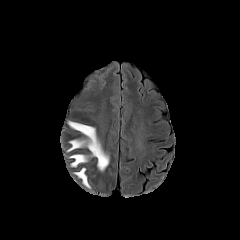
FLAIR MR.
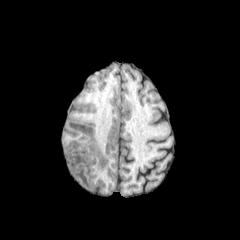
T1-weighted MRI.
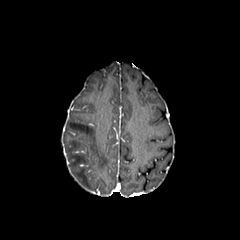
Post-contrast T1-weighted MRI.
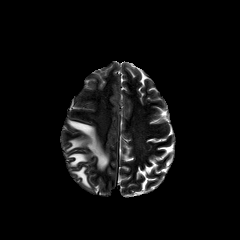
T2-weighted MR image.
Image size 240x240, Axial view
<segmentation>
  <peritumoral_edema>box(67, 120, 109, 171); box(74, 167, 90, 188)</peritumoral_edema>
</segmentation>